Brain.
FLAIR MR image.
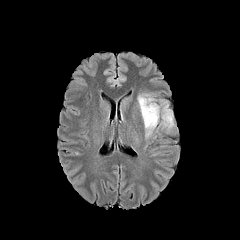
T1-weighted MRI.
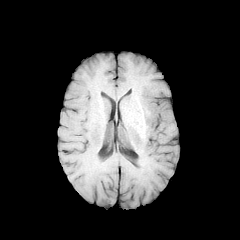
Post-contrast T1-weighted MR.
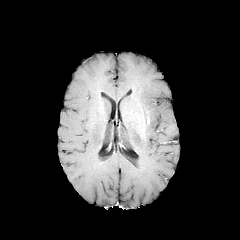
T2-weighted magnetic resonance.
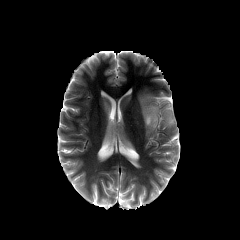
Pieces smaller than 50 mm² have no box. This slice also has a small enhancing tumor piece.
peritumoral edema: x1=138, y1=94, x2=159, y2=135; x1=161, y1=100, x2=173, y2=128